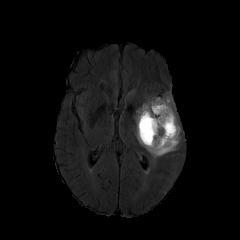
FLAIR magnetic resonance.
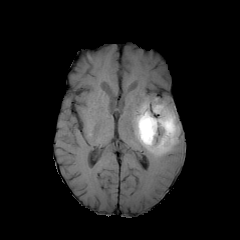
T1-weighted MR.
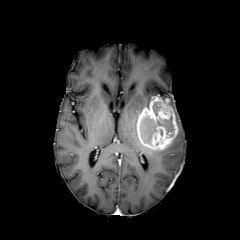
Same slice, post-contrast T1-weighted magnetic resonance.
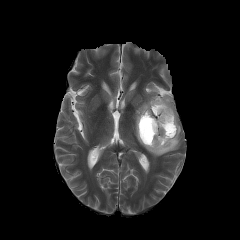
T2-weighted MR.
240x240 px; Brain; Axial plane
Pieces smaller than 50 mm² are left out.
enhancing_tumor:
  - rect(136, 96, 178, 150)
necrotic_tumor_core:
  - rect(140, 116, 174, 142)
  - rect(153, 103, 160, 115)
peritumoral_edema:
  - rect(144, 93, 180, 157)
  - rect(135, 98, 151, 124)